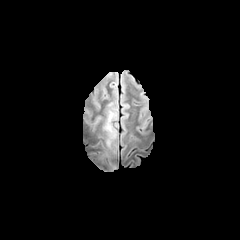
FLAIR MRI.
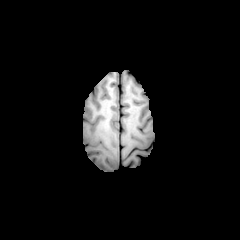
T1-weighted MR of the same slice.
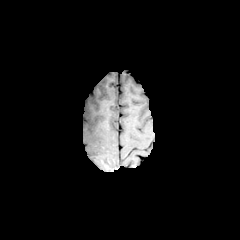
Same slice, post-contrast T1-weighted MR image.
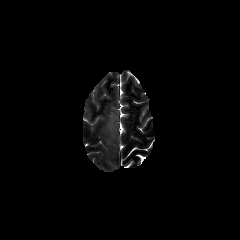
T2-weighted MR image of the same slice.
Head
peritumoral edema: bbox(106, 112, 116, 136)